FLAIR MRI.
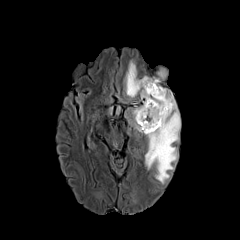
T1-weighted MR image.
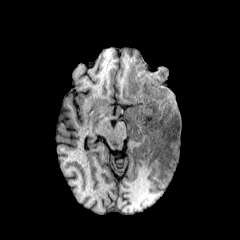
Post-contrast T1-weighted magnetic resonance.
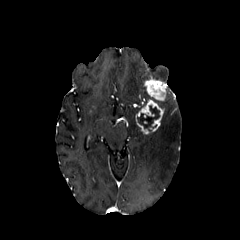
T2-weighted magnetic resonance.
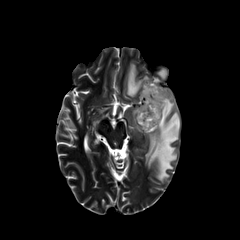
Image size 240x240
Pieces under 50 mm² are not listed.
peritumoral edema = [132, 106, 142, 132], [158, 69, 166, 78], [145, 90, 180, 183], [125, 61, 149, 97]
enhancing tumor = [143, 77, 167, 101], [135, 100, 164, 134]
necrotic tumor core = [137, 105, 159, 130]